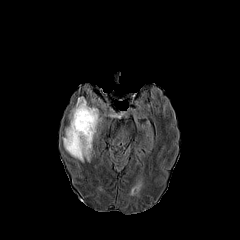
FLAIR MR.
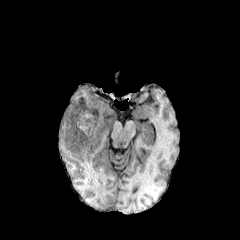
T1-weighted MR image.
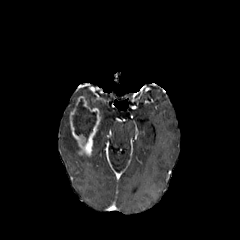
Post-contrast T1-weighted MR of the same slice.
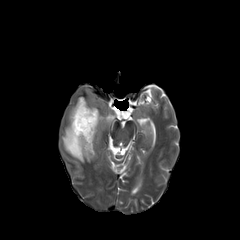
T2-weighted MR image of the same slice.
Head. 240x240 px.
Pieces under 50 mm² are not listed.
necrotic_tumor_core:
  - [x1=73, y1=99, x2=96, y2=141]
peritumoral_edema:
  - [x1=62, y1=126, x2=90, y2=162]
enhancing_tumor:
  - [x1=69, y1=96, x2=101, y2=156]